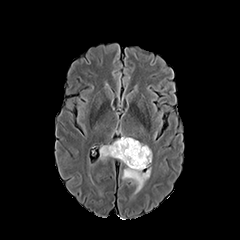
FLAIR magnetic resonance.
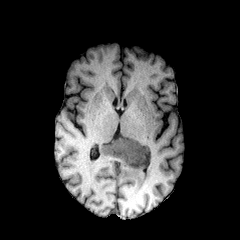
T1-weighted MR image.
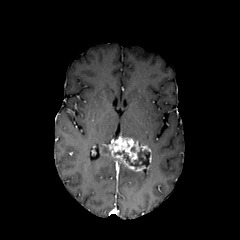
Post-contrast T1-weighted MR image of the same slice.
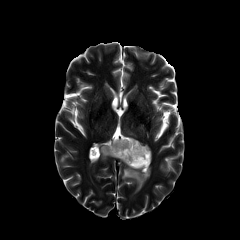
T2-weighted MRI.
Axial slice.
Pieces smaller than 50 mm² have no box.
Findings:
* enhancing tumor: region(107, 137, 150, 171)
* peritumoral edema: region(100, 145, 111, 159); region(122, 167, 150, 192)
* necrotic tumor core: region(114, 148, 150, 167)